FLAIR MR image.
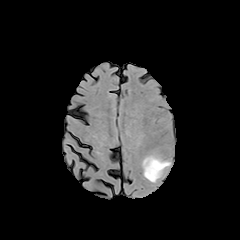
T1-weighted MRI.
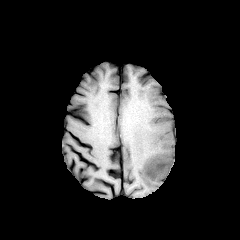
Post-contrast T1-weighted MR.
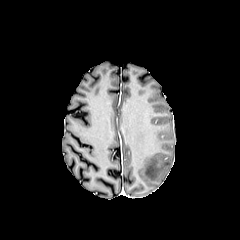
T2-weighted MR.
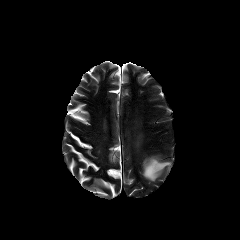
240x240 px | Axial view
peritumoral edema at {"x1": 143, "y1": 156, "x2": 170, "y2": 181}